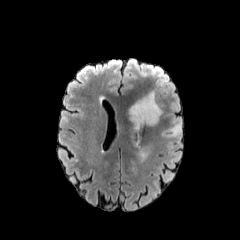
FLAIR MRI.
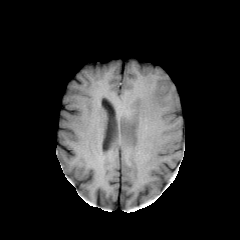
T1-weighted magnetic resonance.
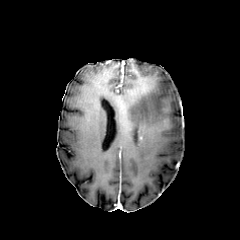
Post-contrast T1-weighted magnetic resonance of the same slice.
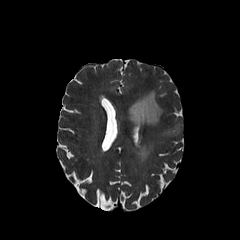
Same slice, T2-weighted MR.
Head.
peritumoral edema: x1=139, y1=149, x2=148, y2=161; x1=130, y1=91, x2=162, y2=128